FLAIR MR image.
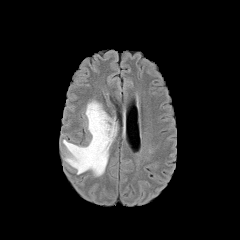
T1-weighted magnetic resonance.
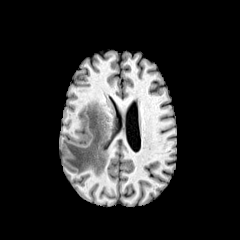
Post-contrast T1-weighted MRI.
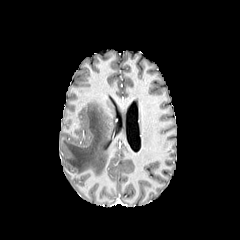
T2-weighted MRI.
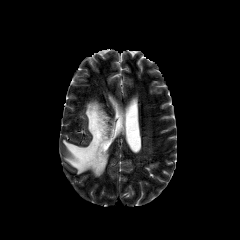
240x240
The peritumoral edema is bounded by (63, 100, 116, 176).